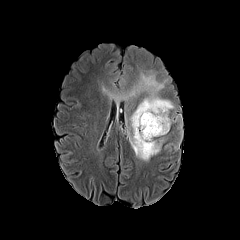
FLAIR magnetic resonance.
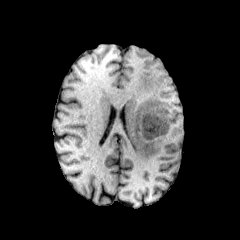
T1-weighted MRI.
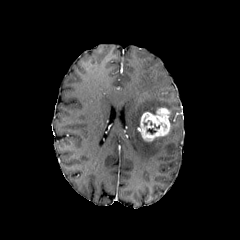
Post-contrast T1-weighted MR.
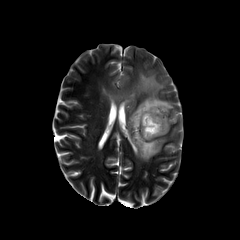
Same slice, T2-weighted magnetic resonance.
Head
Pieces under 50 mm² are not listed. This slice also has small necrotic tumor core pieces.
enhancing tumor — box=[138, 107, 170, 141]
peritumoral edema — box=[126, 73, 173, 160]